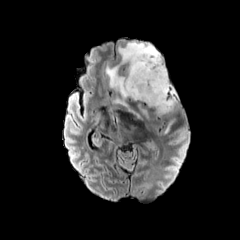
FLAIR MRI.
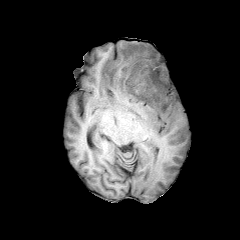
T1-weighted MRI.
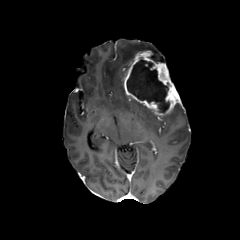
Post-contrast T1-weighted magnetic resonance of the same slice.
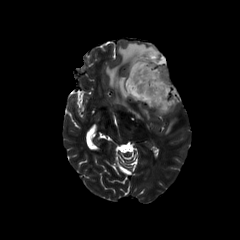
T2-weighted MRI.
Axial slice. Image size 240x240.
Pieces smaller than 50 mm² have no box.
Findings:
* enhancing tumor: {"x1": 123, "y1": 50, "x2": 179, "y2": 117}
* necrotic tumor core: {"x1": 127, "y1": 59, "x2": 169, "y2": 112}
* peritumoral edema: {"x1": 137, "y1": 104, "x2": 148, "y2": 119}, {"x1": 128, "y1": 108, "x2": 142, "y2": 119}, {"x1": 164, "y1": 118, "x2": 175, "y2": 133}, {"x1": 106, "y1": 41, "x2": 164, "y2": 107}